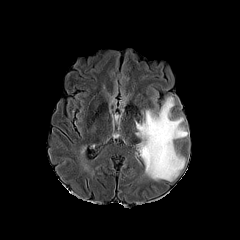
FLAIR magnetic resonance.
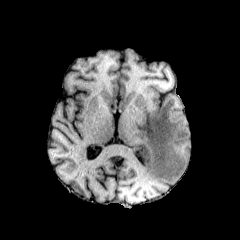
T1-weighted MRI of the same slice.
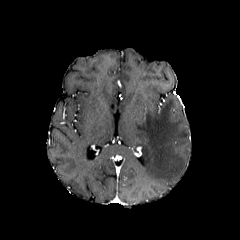
Post-contrast T1-weighted MR image.
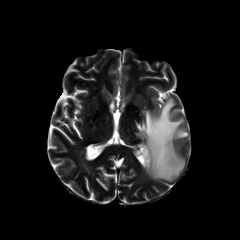
Same slice, T2-weighted MR image.
240x240; Axial view
The peritumoral edema appears at box(134, 95, 188, 181).